240x240 px, Slice 74/155, Image width 240 mm, 1.00 mm slice spacing
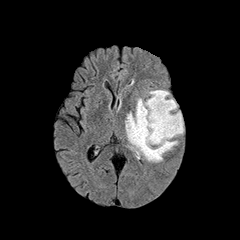
FLAIR MR.
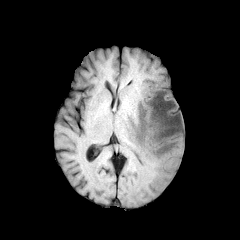
T1-weighted MRI of the same slice.
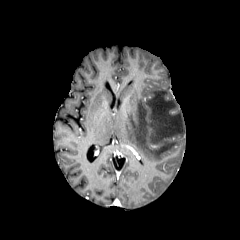
Post-contrast T1-weighted MR of the same slice.
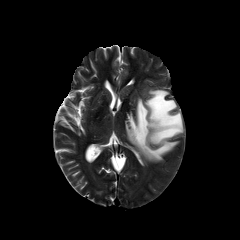
T2-weighted MRI.
The peritumoral edema is bounded by (125, 90, 183, 162).